Slice 36/155.
FLAIR MRI.
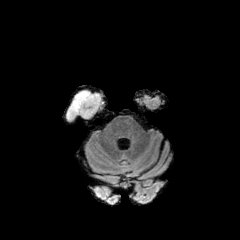
T1-weighted MR.
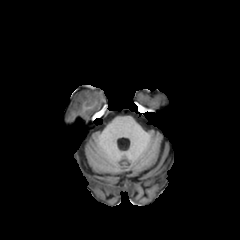
Post-contrast T1-weighted MRI.
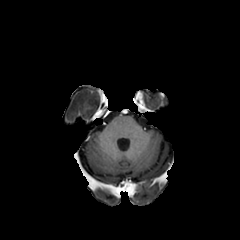
T2-weighted magnetic resonance.
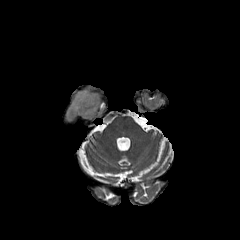
The peritumoral edema is located at l=66, t=91, r=99, b=120.